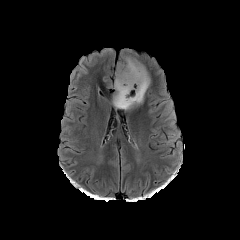
FLAIR MRI.
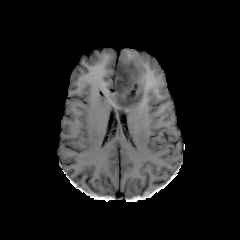
T1-weighted MR.
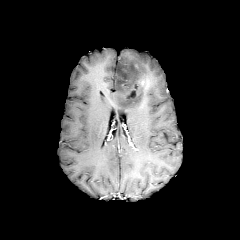
Post-contrast T1-weighted MR image of the same slice.
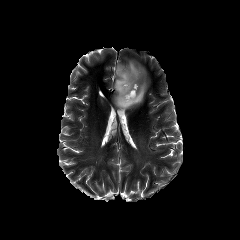
Same slice, T2-weighted MRI.
Axial view, Brain
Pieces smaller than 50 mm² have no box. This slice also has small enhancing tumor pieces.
necrotic tumor core — bbox(115, 65, 140, 105)
peritumoral edema — bbox(112, 57, 150, 110)